FLAIR MRI.
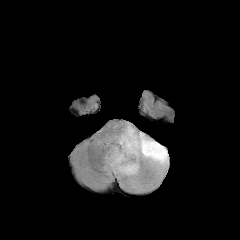
T1-weighted magnetic resonance.
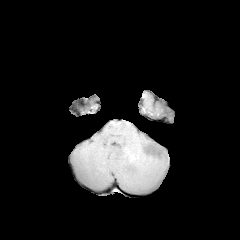
Post-contrast T1-weighted MRI.
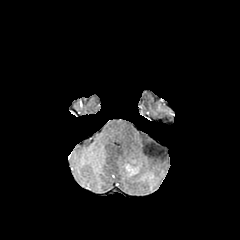
T2-weighted MR image.
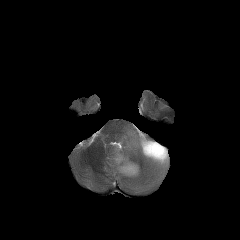
Axial slice, Head
peritumoral_edema:
  - l=104, t=124, r=169, b=191
enhancing_tumor:
  - l=124, t=164, r=137, b=175